Slice 80/155. Brain. Axial view.
FLAIR MRI.
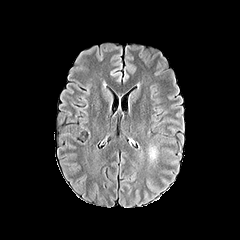
T1-weighted magnetic resonance.
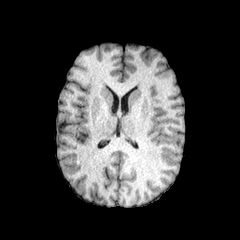
Post-contrast T1-weighted magnetic resonance.
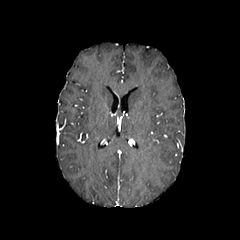
T2-weighted magnetic resonance.
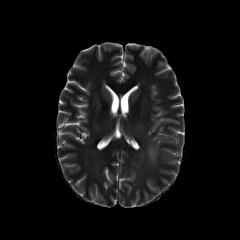
The peritumoral edema lies within x1=149 y1=147 x2=157 y2=161.